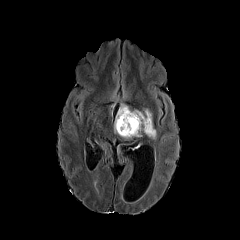
FLAIR MR image.
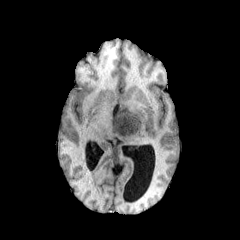
T1-weighted MR of the same slice.
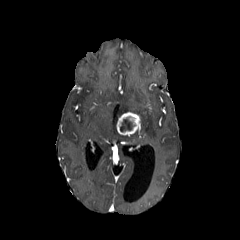
Post-contrast T1-weighted MRI.
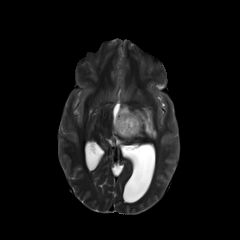
Same slice, T2-weighted MR image.
Head
The peritumoral edema appears at l=114, t=103, r=156, b=139. The necrotic tumor core is bounded by l=120, t=117, r=135, b=131. The enhancing tumor is bounded by l=116, t=112, r=140, b=136.